Brain | 240x240
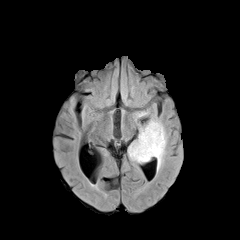
FLAIR MRI.
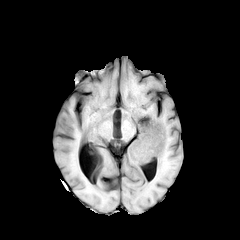
T1-weighted MRI of the same slice.
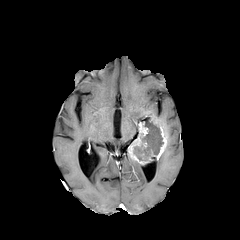
Same slice, post-contrast T1-weighted MR.
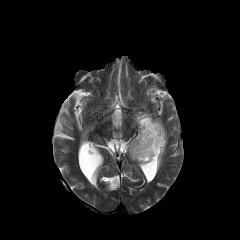
Same slice, T2-weighted MRI.
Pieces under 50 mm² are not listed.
The necrotic tumor core appears at rect(134, 121, 163, 161). The 2 largest enhancing tumor regions appear at rect(128, 122, 148, 164); rect(151, 116, 167, 159). The 2 largest peritumoral edema regions are bounded by rect(133, 111, 156, 138); rect(157, 149, 166, 172).